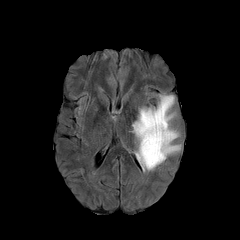
FLAIR MR.
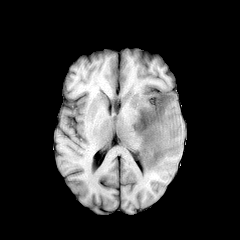
T1-weighted MR of the same slice.
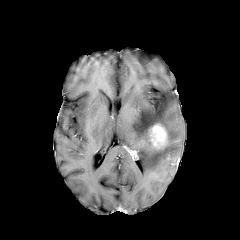
Post-contrast T1-weighted MRI.
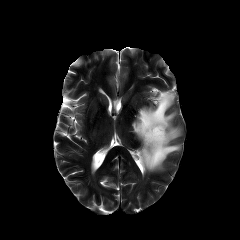
T2-weighted MR image of the same slice.
Axial slice.
peritumoral_edema:
  - (left=132, top=92, right=181, bottom=171)
enhancing_tumor:
  - (left=142, top=123, right=167, bottom=149)